FLAIR MR image.
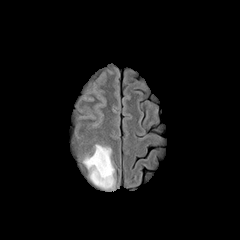
T1-weighted MR image.
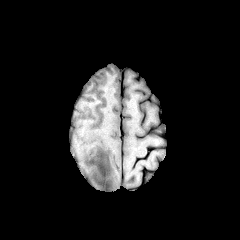
Post-contrast T1-weighted magnetic resonance.
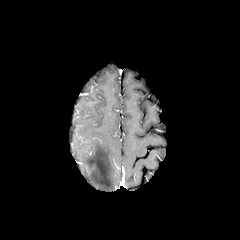
T2-weighted magnetic resonance.
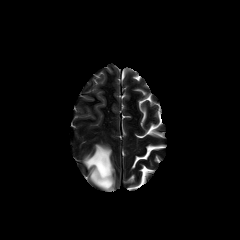
Image size 240x240, Head
peritumoral_edema:
  - <bbox>83, 144, 115, 190</bbox>